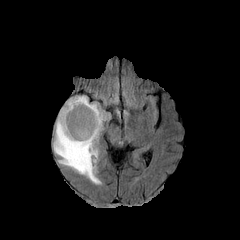
FLAIR MR image.
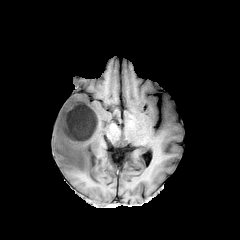
Same slice, T1-weighted magnetic resonance.
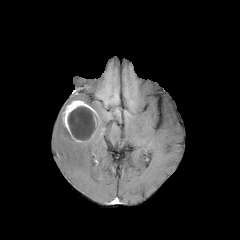
Post-contrast T1-weighted magnetic resonance of the same slice.
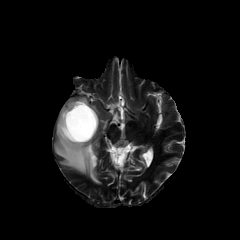
T2-weighted MR image.
Head; Axial view
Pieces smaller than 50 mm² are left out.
* peritumoral edema: box(53, 95, 106, 184)
* necrotic tumor core: box(68, 106, 95, 140)
* enhancing tumor: box(62, 100, 98, 142)